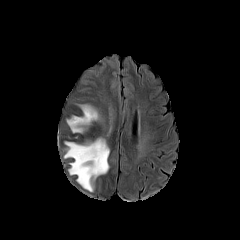
FLAIR MR image.
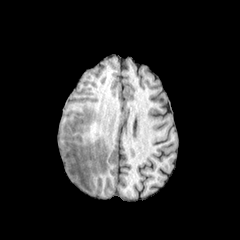
Same slice, T1-weighted MR image.
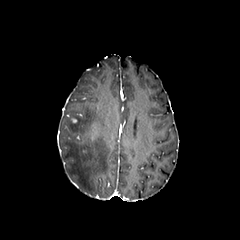
Post-contrast T1-weighted MRI.
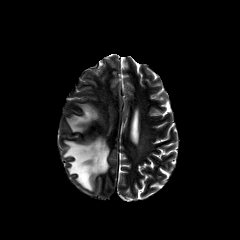
Same slice, T2-weighted MRI.
Head | Axial view
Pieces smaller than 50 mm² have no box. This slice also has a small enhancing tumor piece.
peritumoral edema = [66, 104, 99, 133], [64, 137, 109, 191]